FLAIR magnetic resonance.
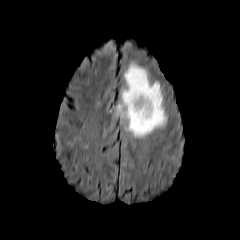
T1-weighted magnetic resonance.
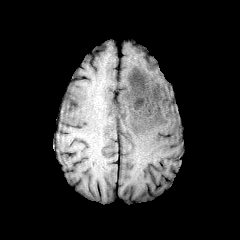
Post-contrast T1-weighted magnetic resonance.
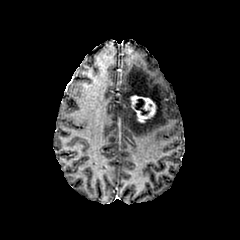
T2-weighted magnetic resonance.
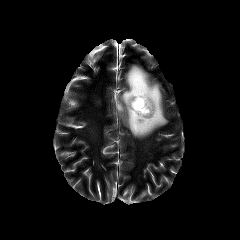
peritumoral edema at (116,63,166,137)
necrotic tumor core at (135,99,149,115)
enhancing tumor at (130,95,156,122)